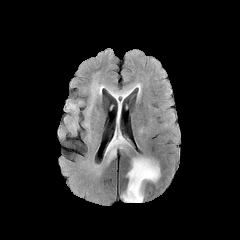
FLAIR magnetic resonance.
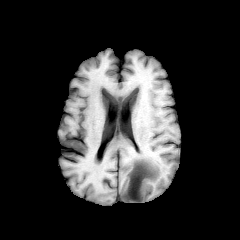
T1-weighted MRI.
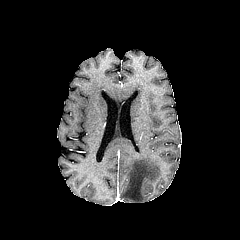
Post-contrast T1-weighted MRI.
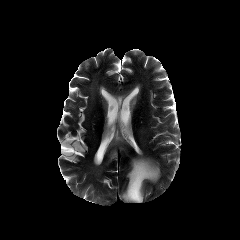
T2-weighted MRI.
240x240 | Head
2 peritumoral edema regions are bounded by 106, 88, 133, 163; 121, 157, 160, 202.